FLAIR MR.
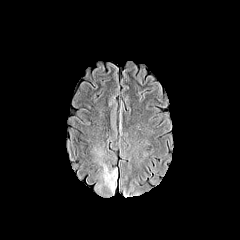
T1-weighted MRI.
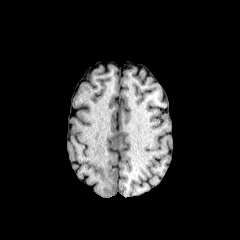
Post-contrast T1-weighted magnetic resonance.
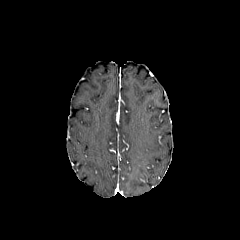
T2-weighted MR image.
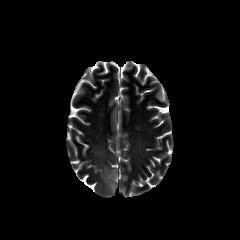
Axial view
The peritumoral edema is at (90,147,117,195).